Axial plane; Head; 240x240
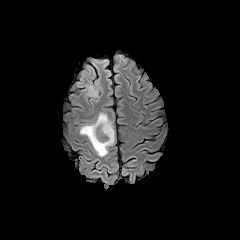
FLAIR MRI.
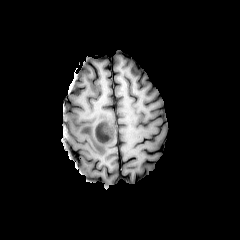
Same slice, T1-weighted MR.
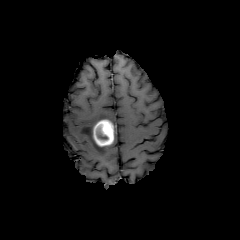
Post-contrast T1-weighted MRI of the same slice.
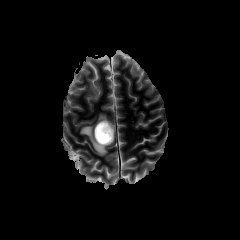
Same slice, T2-weighted MRI.
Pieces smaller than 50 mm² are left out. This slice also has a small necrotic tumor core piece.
enhancing_tumor:
  - bbox=[93, 119, 114, 146]
peritumoral_edema:
  - bbox=[79, 112, 115, 156]
  - bbox=[72, 65, 100, 96]